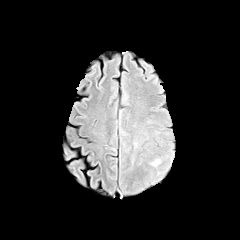
FLAIR MR image.
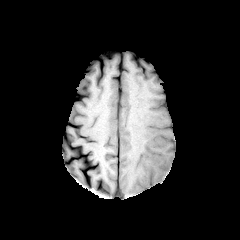
Same slice, T1-weighted MR image.
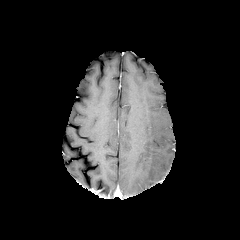
Post-contrast T1-weighted magnetic resonance.
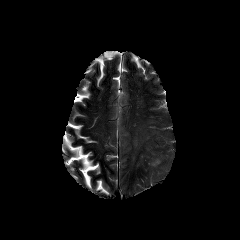
T2-weighted MRI.
Axial plane. Brain.
peritumoral edema: 151:159:160:166